FLAIR MRI.
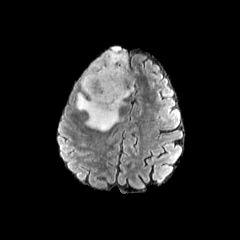
T1-weighted MR.
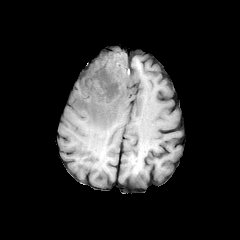
Post-contrast T1-weighted MRI.
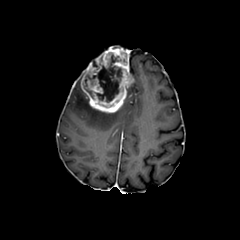
T2-weighted MRI.
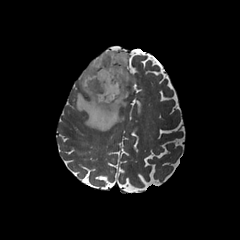
Image size 240x240 | Head | Axial slice
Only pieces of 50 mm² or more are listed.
2 enhancing tumor regions appear at 80:46:134:113, 86:78:102:93. The largest peritumoral edema region is located at 75:89:120:130. The 2 largest necrotic tumor core regions are located at 94:100:119:107, 84:54:122:102.